FLAIR magnetic resonance.
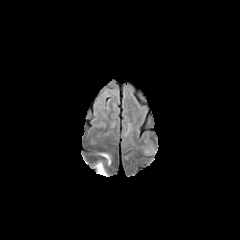
T1-weighted MRI.
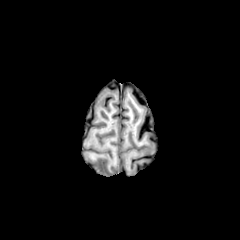
Post-contrast T1-weighted magnetic resonance.
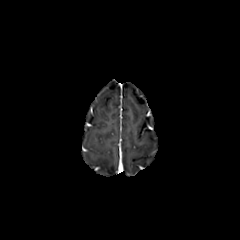
T2-weighted MR.
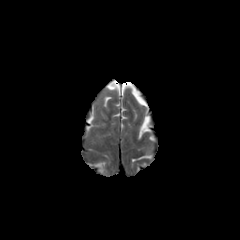
Brain
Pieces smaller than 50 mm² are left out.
{
  "peritumoral_edema": [
    "<box>96,162,106,174</box>"
  ]
}